FLAIR magnetic resonance.
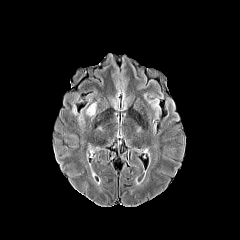
T1-weighted MR image.
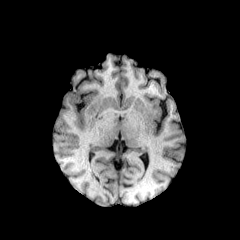
Post-contrast T1-weighted MRI.
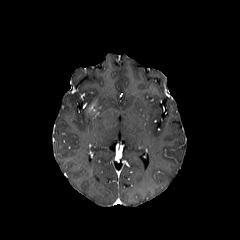
T2-weighted MR.
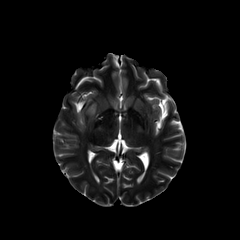
240x240
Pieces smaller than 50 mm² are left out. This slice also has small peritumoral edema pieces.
enhancing_tumor:
  - 87,103,95,113